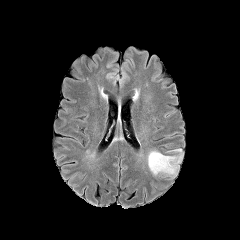
FLAIR MR image.
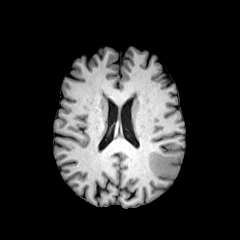
T1-weighted MR image.
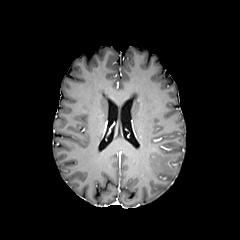
Post-contrast T1-weighted MR image.
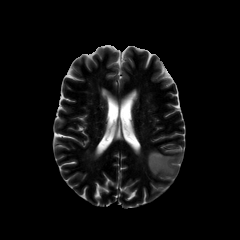
T2-weighted MR of the same slice.
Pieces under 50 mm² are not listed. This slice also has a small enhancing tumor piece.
Findings:
- peritumoral edema: [147, 149, 183, 178]